FLAIR MR.
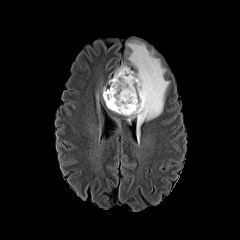
T1-weighted magnetic resonance.
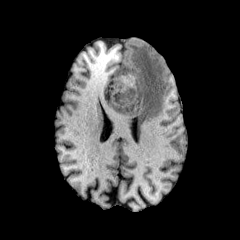
Post-contrast T1-weighted magnetic resonance.
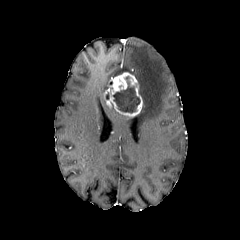
T2-weighted MR.
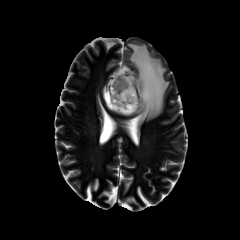
Head | Axial plane
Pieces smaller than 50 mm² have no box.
The largest necrotic tumor core region is bounded by 113 81 139 112. The largest peritumoral edema region lies within 114 41 169 128. The enhancing tumor lies within 103 72 143 117.